Head; Axial slice; Slice 86/155
FLAIR MR image.
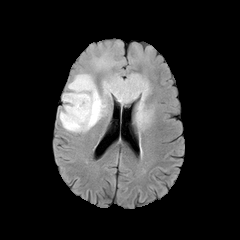
T1-weighted magnetic resonance.
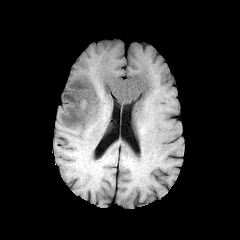
Post-contrast T1-weighted MRI.
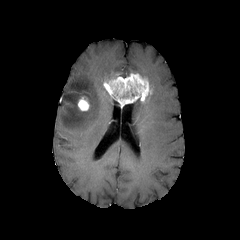
T2-weighted MR image.
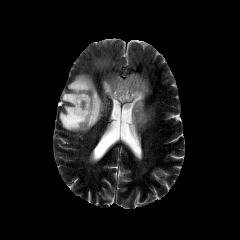
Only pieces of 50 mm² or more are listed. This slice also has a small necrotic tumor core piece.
enhancing tumor = 103 73 150 106, 77 96 89 111
peritumoral edema = 59 72 118 132, 135 101 153 128, 92 52 118 70